FLAIR MR.
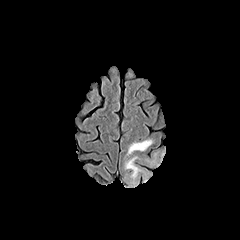
T1-weighted MR.
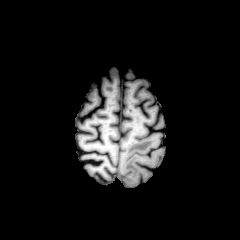
Post-contrast T1-weighted magnetic resonance.
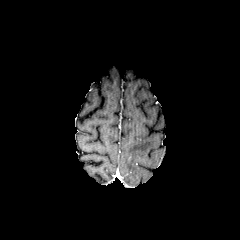
T2-weighted magnetic resonance.
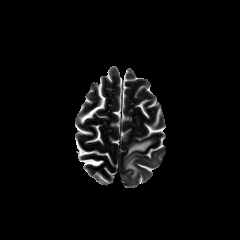
Brain; Axial view
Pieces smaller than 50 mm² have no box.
{"peritumoral_edema": ["125,156,141,185", "126,138,154,156"]}